FLAIR MRI.
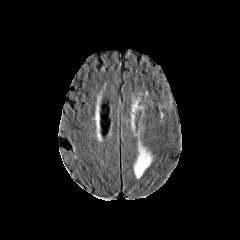
T1-weighted MRI.
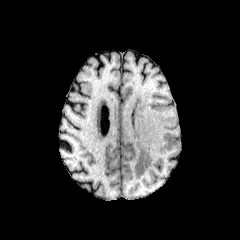
Post-contrast T1-weighted MRI.
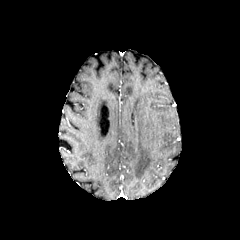
T2-weighted magnetic resonance.
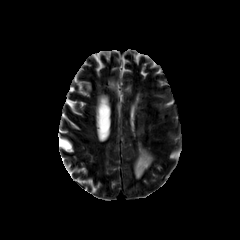
Axial view | Brain
<segmentation>
  <peritumoral_edema>(134, 142, 152, 178)</peritumoral_edema>
</segmentation>